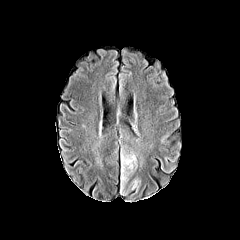
FLAIR MR image.
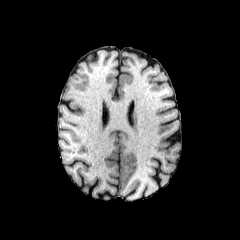
T1-weighted MR.
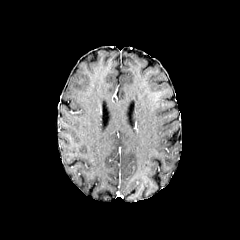
Post-contrast T1-weighted MRI.
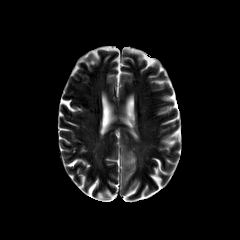
Same slice, T2-weighted MR.
Axial plane.
Annotated regions:
• peritumoral edema: 121:152:137:180, 128:176:140:191